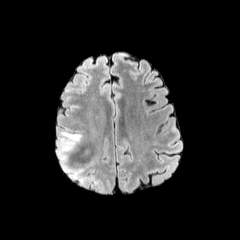
FLAIR magnetic resonance.
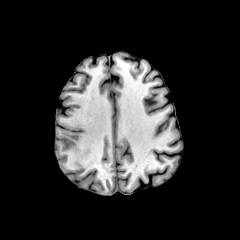
T1-weighted MRI of the same slice.
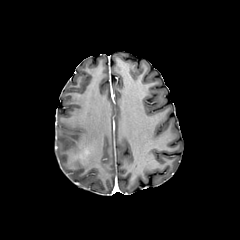
Post-contrast T1-weighted MR image.
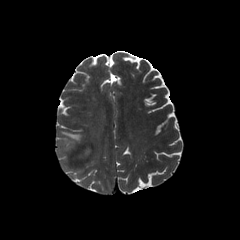
Same slice, T2-weighted MR.
Brain; 240x240; Axial slice
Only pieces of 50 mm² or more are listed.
<segmentation>
  <peritumoral_edema>57:131:82:172</peritumoral_edema>
  <enhancing_tumor>76:149:89:158</enhancing_tumor>
</segmentation>